FLAIR magnetic resonance.
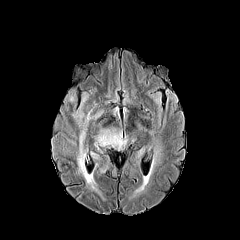
T1-weighted magnetic resonance.
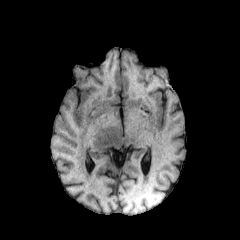
Post-contrast T1-weighted MRI.
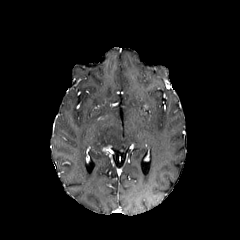
T2-weighted MR.
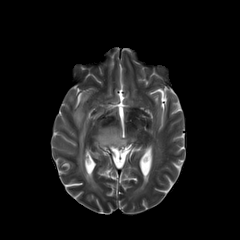
Brain
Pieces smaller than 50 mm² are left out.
peritumoral edema = left=75, top=112, right=94, bottom=188; left=94, top=124, right=128, bottom=150